FLAIR MRI.
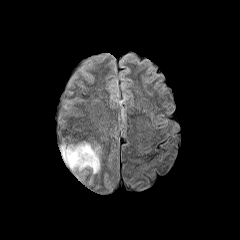
T1-weighted magnetic resonance.
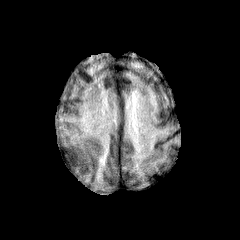
Post-contrast T1-weighted MR image.
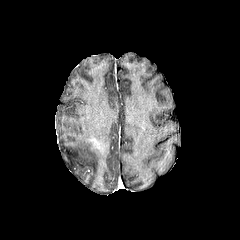
T2-weighted magnetic resonance.
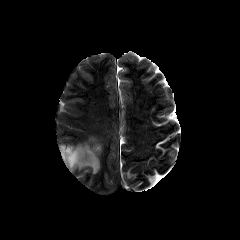
Axial slice. Brain.
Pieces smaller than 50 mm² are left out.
enhancing tumor: bounding box region(89, 138, 102, 151)
peritumoral edema: bounding box region(61, 142, 99, 173)